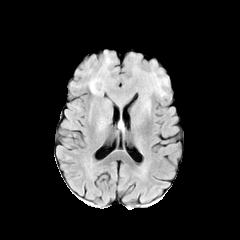
FLAIR MRI.
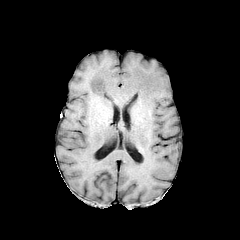
Same slice, T1-weighted magnetic resonance.
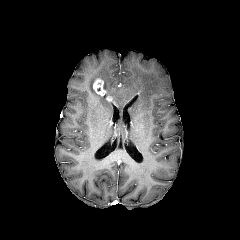
Same slice, post-contrast T1-weighted MR.
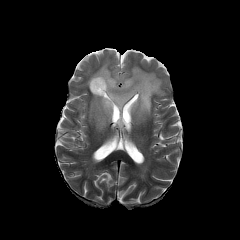
T2-weighted MR image.
Axial slice. Brain.
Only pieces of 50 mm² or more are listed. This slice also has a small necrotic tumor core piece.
• peritumoral edema: [87,53,167,121], [97,114,108,130]
• enhancing tumor: [93,78,106,95]